FLAIR MRI.
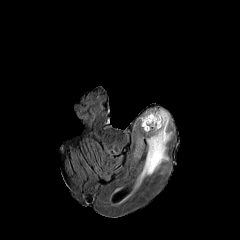
T1-weighted MR image.
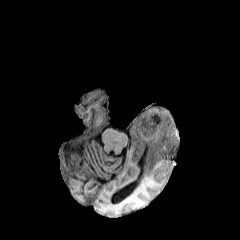
Post-contrast T1-weighted MRI.
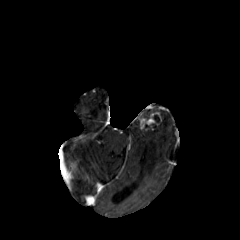
T2-weighted magnetic resonance.
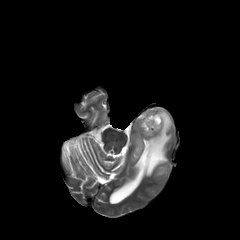
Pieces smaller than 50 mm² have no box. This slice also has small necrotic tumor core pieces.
enhancing tumor: box=[139, 112, 162, 130] | peritumoral edema: box=[141, 110, 172, 179]